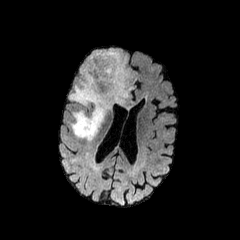
FLAIR magnetic resonance.
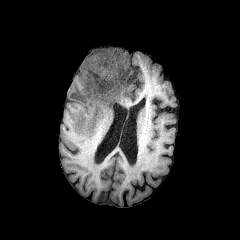
T1-weighted MRI.
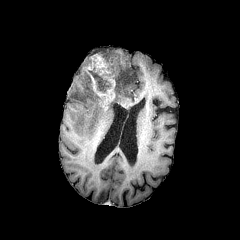
Same slice, post-contrast T1-weighted MR image.
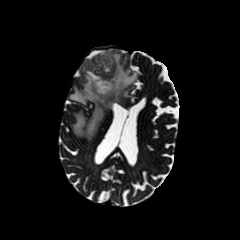
T2-weighted MR image.
Head
necrotic tumor core: <box>88,67,111,92</box>
peritumoral edema: <box>69,49,136,140</box>
enhancing tumor: <box>82,52,124,109</box>